Axial slice
FLAIR MRI.
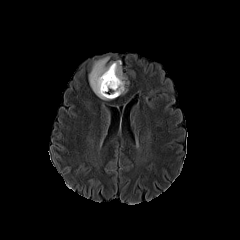
T1-weighted magnetic resonance.
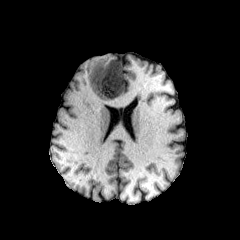
Post-contrast T1-weighted MRI.
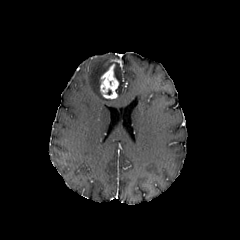
T2-weighted MR image.
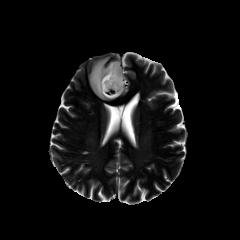
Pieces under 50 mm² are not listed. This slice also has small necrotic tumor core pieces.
<segmentation>
  <peritumoral_edema>bbox=[89, 56, 126, 100]</peritumoral_edema>
  <enhancing_tumor>bbox=[100, 64, 119, 98]</enhancing_tumor>
</segmentation>